Head; Image size 240x240; Slice 108 of 155
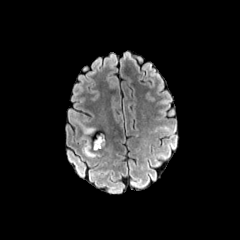
FLAIR magnetic resonance.
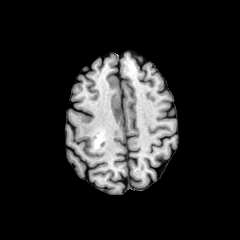
T1-weighted MR image.
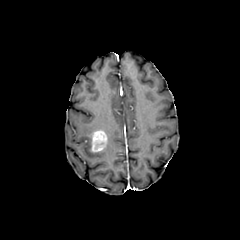
Same slice, post-contrast T1-weighted MR image.
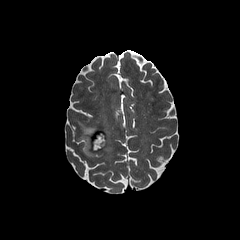
Same slice, T2-weighted MR.
enhancing tumor: <box>91,131,106,151</box> | peritumoral edema: <box>82,137,95,157</box>, <box>83,126,95,134</box>